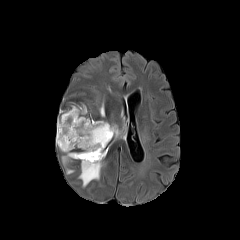
FLAIR MRI.
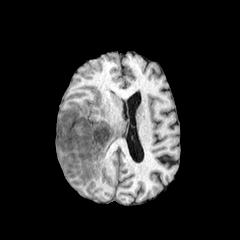
T1-weighted MRI.
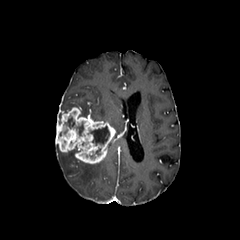
Post-contrast T1-weighted MRI.
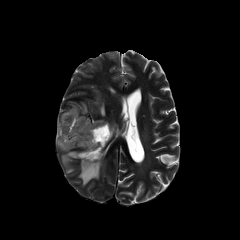
T2-weighted MR image.
240x240, Axial slice, Head
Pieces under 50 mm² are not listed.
The 5 largest peritumoral edema regions appear at bbox=[79, 160, 103, 186]; bbox=[72, 103, 87, 116]; bbox=[62, 151, 79, 165]; bbox=[100, 103, 104, 116]; bbox=[111, 124, 119, 136]. The enhancing tumor is at bbox=[55, 107, 115, 164]. The 2 largest necrotic tumor core regions are bounded by bbox=[90, 126, 109, 144]; bbox=[65, 117, 74, 128].